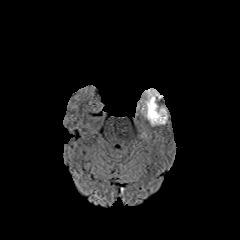
FLAIR MRI.
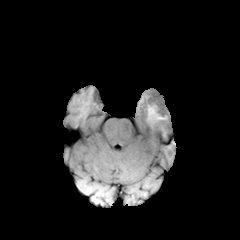
Same slice, T1-weighted MR image.
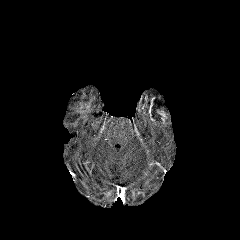
Post-contrast T1-weighted magnetic resonance.
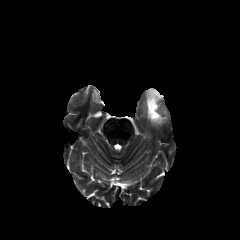
Same slice, T2-weighted magnetic resonance.
Axial slice. Head.
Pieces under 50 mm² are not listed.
peritumoral_edema:
  - l=137, t=88, r=168, b=126
enhancing_tumor:
  - l=157, t=108, r=167, b=123
  - l=148, t=97, r=155, b=123
necrotic_tumor_core:
  - l=151, t=98, r=163, b=121